FLAIR MRI.
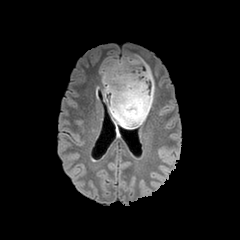
T1-weighted magnetic resonance.
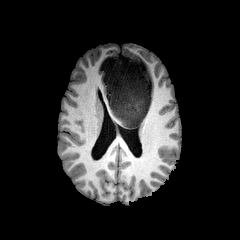
Post-contrast T1-weighted MRI.
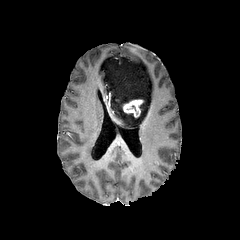
T2-weighted MR image.
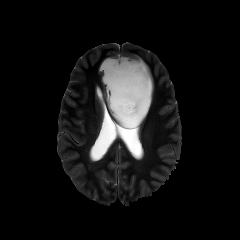
Axial slice; Image size 240x240
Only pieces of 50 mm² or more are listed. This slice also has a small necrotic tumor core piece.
peritumoral edema: 100:56:154:127 | enhancing tumor: 123:99:143:117